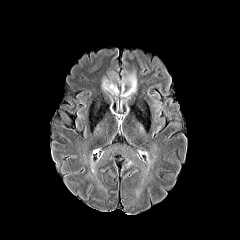
FLAIR MR.
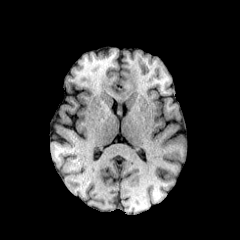
T1-weighted magnetic resonance.
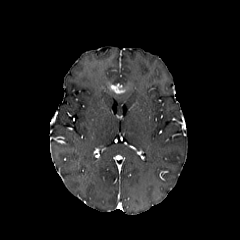
Same slice, post-contrast T1-weighted magnetic resonance.
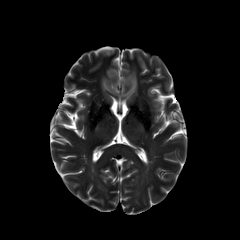
T2-weighted magnetic resonance.
Image size 240x240; Brain
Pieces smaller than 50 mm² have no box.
enhancing tumor: bounding box <box>109,84,125,93</box>
peritumoral edema: bounding box <box>120,71,137,98</box>, <box>102,78,117,94</box>